Axial plane; Brain
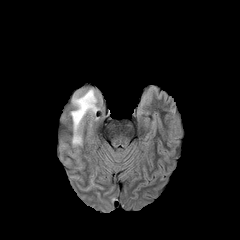
FLAIR MRI.
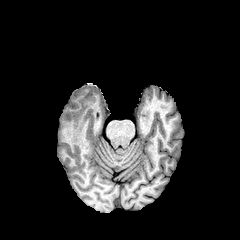
T1-weighted MR image.
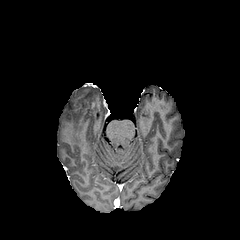
Post-contrast T1-weighted MR.
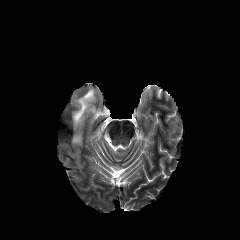
T2-weighted MR image.
• peritumoral edema: (left=71, top=89, right=98, bottom=144)